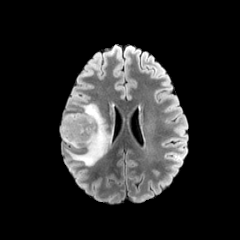
FLAIR MR image.
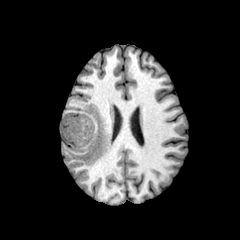
T1-weighted MR image.
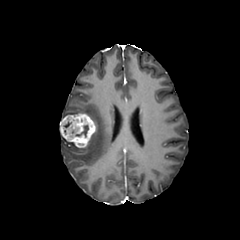
Post-contrast T1-weighted MR image.
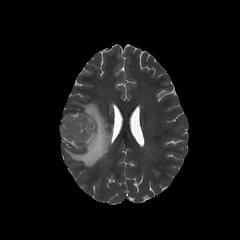
T2-weighted MR image of the same slice.
240x240, Brain, Axial slice
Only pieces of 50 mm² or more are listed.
{"necrotic_tumor_core": ["x1=76, y1=125, x2=88, y2=137"], "enhancing_tumor": ["x1=60, y1=113, x2=95, y2=147"], "peritumoral_edema": ["x1=61, y1=103, x2=111, y2=166"]}